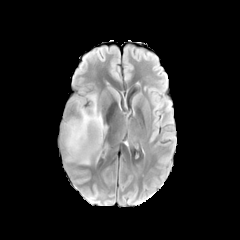
FLAIR MR image.
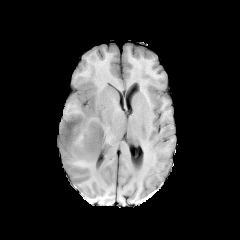
T1-weighted MRI of the same slice.
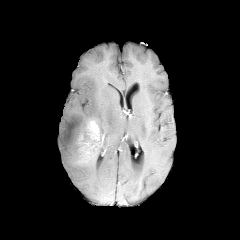
Post-contrast T1-weighted MR.
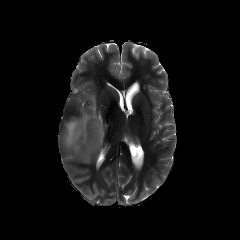
T2-weighted MR image of the same slice.
Brain
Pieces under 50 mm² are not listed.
The largest peritumoral edema region is at l=62, t=94, r=107, b=164. The enhancing tumor appears at l=78, t=120, r=104, b=161.